240x240. Axial view.
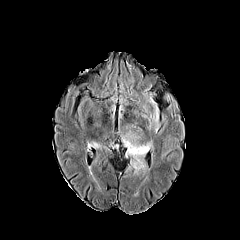
FLAIR magnetic resonance.
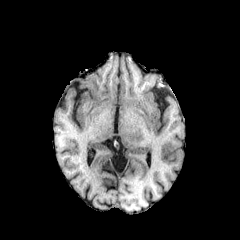
T1-weighted MR image.
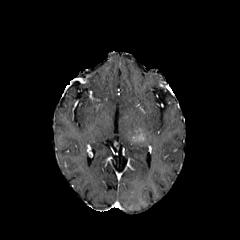
Post-contrast T1-weighted MRI.
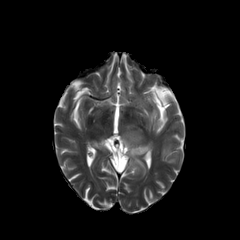
T2-weighted MR image of the same slice.
enhancing tumor — bbox(132, 134, 142, 140)
peritumoral edema — bbox(87, 140, 101, 149); bbox(120, 134, 152, 174)